FLAIR MR.
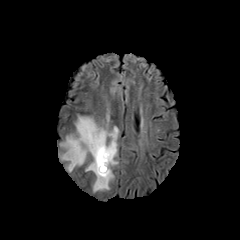
T1-weighted magnetic resonance.
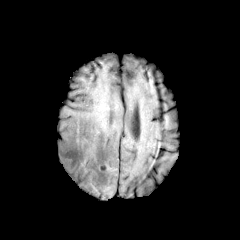
Post-contrast T1-weighted MR image.
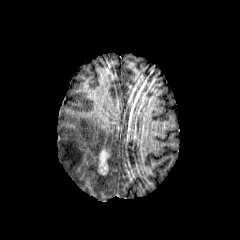
T2-weighted MRI.
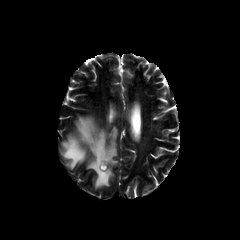
Axial plane.
peritumoral edema: (left=60, top=115, right=118, bottom=191)
enhancing tumor: (left=98, top=149, right=110, bottom=174)